Image width 240 mm, 1.00 mm slice spacing, Axial view, Slice 65/155
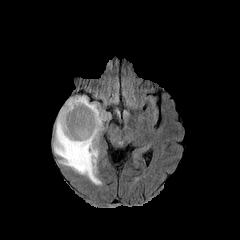
FLAIR MRI.
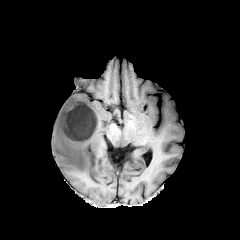
T1-weighted MR image of the same slice.
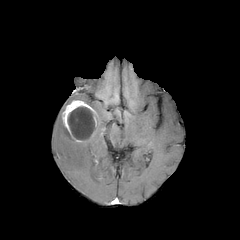
Post-contrast T1-weighted MRI.
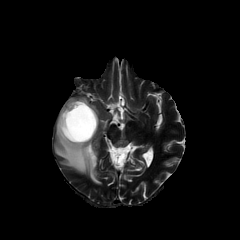
T2-weighted MR image.
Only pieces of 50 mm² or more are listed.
The largest necrotic tumor core region is bounded by <box>68,106,95,140</box>. The enhancing tumor is bounded by <box>62,100,97,142</box>. The peritumoral edema is at <box>53,96,106,184</box>.